Brain; Axial view
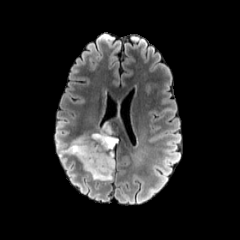
FLAIR magnetic resonance.
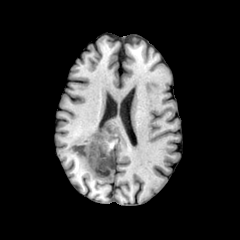
T1-weighted MR image of the same slice.
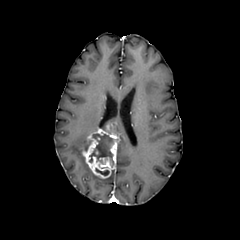
Post-contrast T1-weighted MRI.
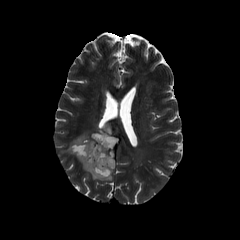
T2-weighted MR image of the same slice.
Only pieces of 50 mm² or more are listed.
The largest peritumoral edema region appears at [60, 136, 113, 180]. 2 necrotic tumor core regions are located at [89, 134, 113, 162], [96, 168, 109, 175]. The largest enhancing tumor region lies within [81, 124, 117, 178].